Brain | Slice 124/155
FLAIR magnetic resonance.
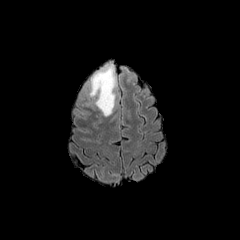
T1-weighted MRI.
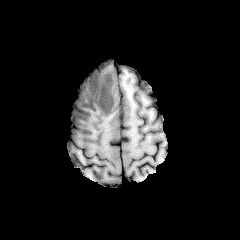
Post-contrast T1-weighted magnetic resonance.
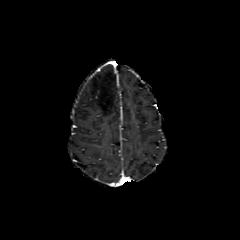
T2-weighted magnetic resonance.
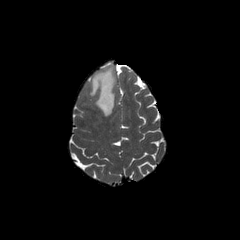
peritumoral edema at l=88, t=64, r=117, b=116